Axial plane
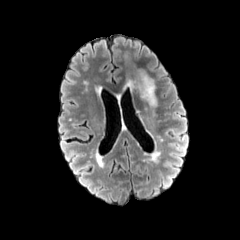
FLAIR magnetic resonance.
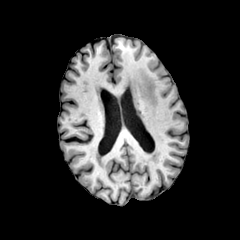
Same slice, T1-weighted MR.
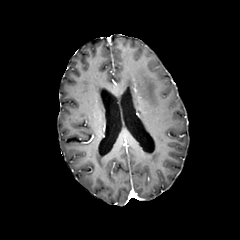
Post-contrast T1-weighted MRI.
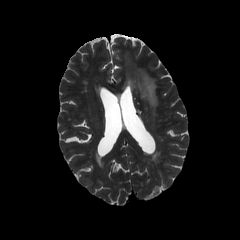
T2-weighted magnetic resonance of the same slice.
<segmentation>
  <peritumoral_edema>(left=127, top=70, right=156, bottom=107)</peritumoral_edema>
</segmentation>